Slice 103/155. Head.
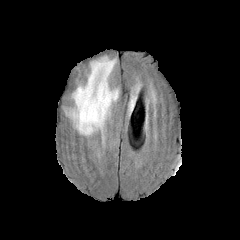
FLAIR MR image.
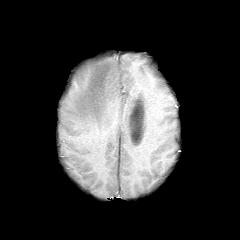
T1-weighted MRI of the same slice.
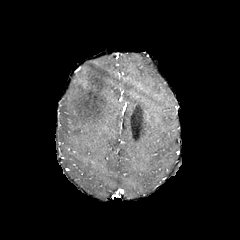
Same slice, post-contrast T1-weighted MRI.
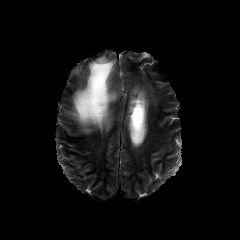
T2-weighted MRI.
• peritumoral edema: 66, 57, 119, 135; 126, 78, 141, 122